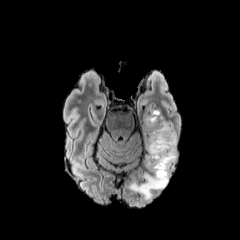
FLAIR MRI.
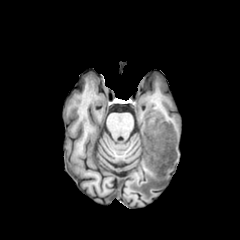
T1-weighted MR image.
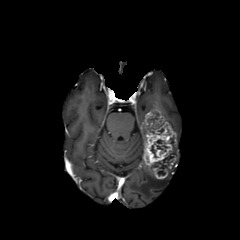
Post-contrast T1-weighted MR image.
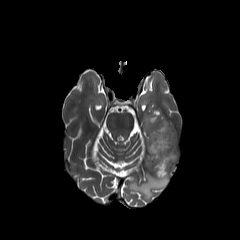
T2-weighted magnetic resonance.
Head | Axial view
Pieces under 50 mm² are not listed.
The 2 largest necrotic tumor core regions are located at box=[152, 152, 174, 175]; box=[148, 111, 158, 123]. The 2 largest peritumoral edema regions appear at box=[167, 121, 178, 144]; box=[129, 162, 175, 199]. The largest enhancing tumor region appears at box=[141, 109, 176, 179].